Image width 240 mm, 1.00 mm slice spacing. Axial plane. Slice 102/155. 240x240.
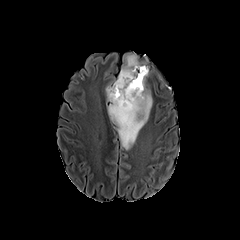
FLAIR MR image.
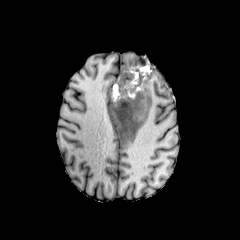
T1-weighted magnetic resonance.
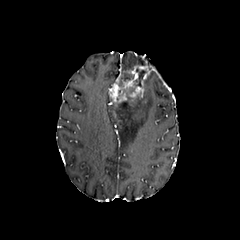
Same slice, post-contrast T1-weighted MR image.
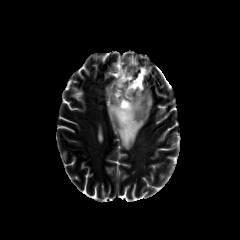
Same slice, T2-weighted MRI.
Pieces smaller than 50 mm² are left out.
3 peritumoral edema regions are bounded by [122,53,148,72], [107,87,153,150], [105,83,112,102]. The 3 largest necrotic tumor core regions are bounded by [119,73,134,86], [113,93,134,120], [134,68,145,86]. The largest enhancing tumor region is at [108,65,149,108].